240x240 px | Head
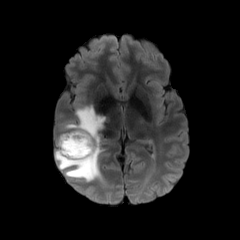
FLAIR MR.
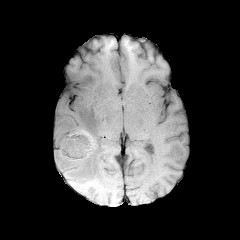
T1-weighted MR image.
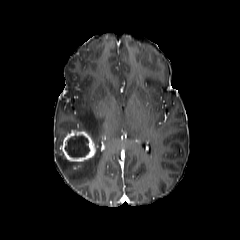
Post-contrast T1-weighted magnetic resonance of the same slice.
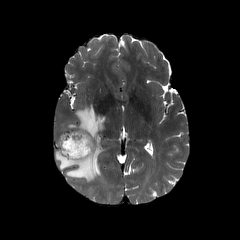
T2-weighted MRI.
peritumoral edema: bounding box [54, 105, 105, 182]
necrotic tumor core: bounding box [65, 135, 89, 157]
enhancing tumor: bounding box [60, 130, 97, 161]